Brain.
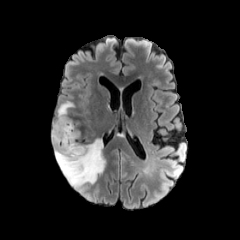
FLAIR MRI.
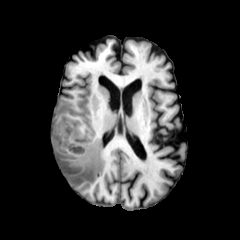
Same slice, T1-weighted magnetic resonance.
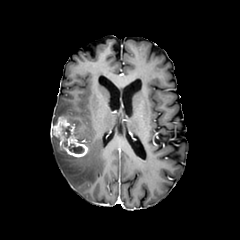
Post-contrast T1-weighted MR image of the same slice.
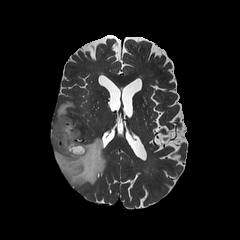
T2-weighted MR.
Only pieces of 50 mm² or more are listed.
<segmentation>
  <necrotic_tumor_core>rect(69, 143, 84, 153); rect(62, 126, 72, 138)</necrotic_tumor_core>
  <peritumoral_edema>rect(52, 131, 105, 188); rect(53, 101, 85, 129)</peritumoral_edema>
  <enhancing_tumor>rect(52, 116, 88, 157)</enhancing_tumor>
</segmentation>